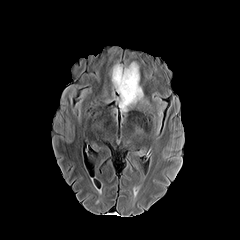
FLAIR MRI.
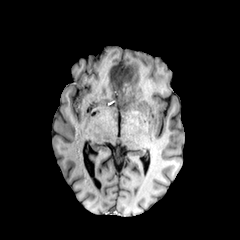
T1-weighted MR of the same slice.
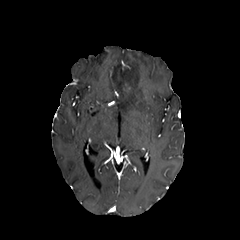
Same slice, post-contrast T1-weighted magnetic resonance.
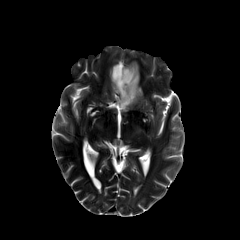
T2-weighted MRI.
Axial view | Brain | Image size 240x240
enhancing tumor: box(122, 81, 131, 92) | peritumoral edema: box(112, 60, 143, 111)